FLAIR MRI.
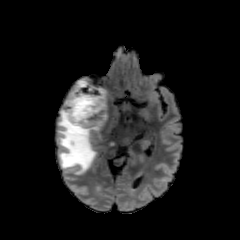
T1-weighted magnetic resonance.
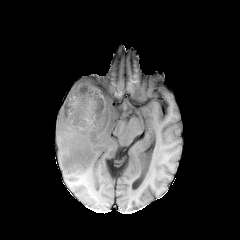
Post-contrast T1-weighted MR image.
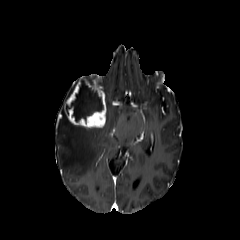
T2-weighted magnetic resonance.
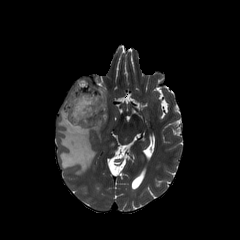
240x240, Axial plane
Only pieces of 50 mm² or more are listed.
peritumoral edema: bbox=[58, 89, 120, 174] | enhancing tumor: bbox=[64, 79, 106, 128] | necrotic tumor core: bbox=[66, 82, 103, 121]